Slice index 67; Image width 240 mm, 1.00 mm slice spacing; Axial slice
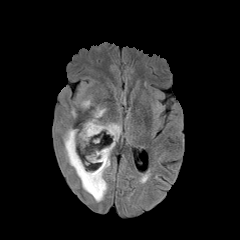
FLAIR MR.
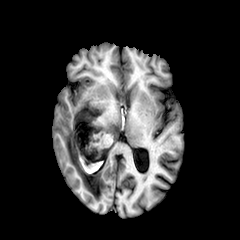
T1-weighted MR image of the same slice.
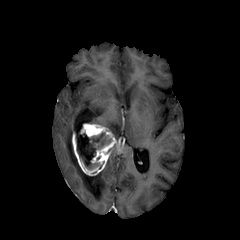
Post-contrast T1-weighted magnetic resonance.
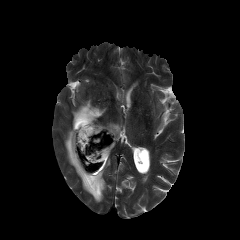
T2-weighted MRI.
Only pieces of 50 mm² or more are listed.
The largest enhancing tumor region appears at 72:123:116:175. The largest necrotic tumor core region appears at 75:131:111:169. The 3 largest peritumoral edema regions appear at 81:100:90:109, 64:129:110:202, 86:107:121:140.